Head, 240x240 px, Slice 39/155, Image covers 240 mm x 240 mm, Axial slice
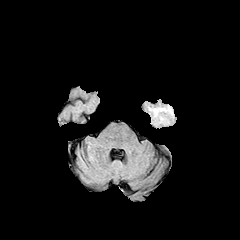
FLAIR magnetic resonance.
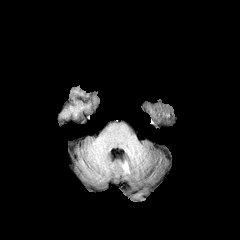
T1-weighted MR.
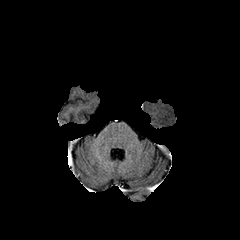
Post-contrast T1-weighted MR image of the same slice.
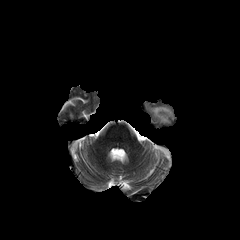
T2-weighted magnetic resonance of the same slice.
The peritumoral edema is at [x1=148, y1=106, x2=173, y2=123].